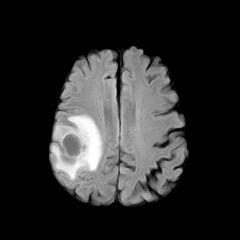
FLAIR MR.
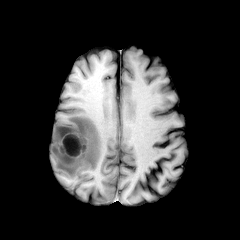
Same slice, T1-weighted MR image.
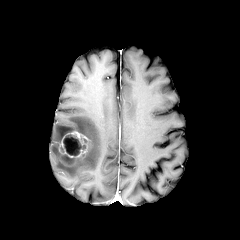
Post-contrast T1-weighted MR of the same slice.
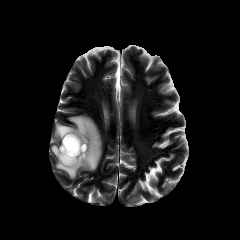
T2-weighted MRI.
Brain | Axial view
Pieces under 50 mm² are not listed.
<segmentation>
  <peritumoral_edema>x1=51 y1=115 x2=102 y2=179</peritumoral_edema>
  <necrotic_tumor_core>x1=62 y1=154 x2=75 y2=164, x1=63 y1=134 x2=85 y2=156</necrotic_tumor_core>
  <enhancing_tumor>x1=59 y1=131 x2=91 y2=166</enhancing_tumor>
</segmentation>